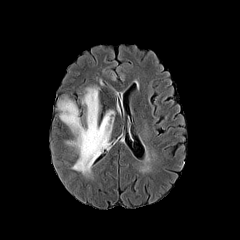
FLAIR MR.
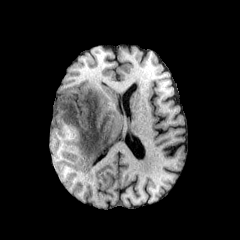
T1-weighted magnetic resonance.
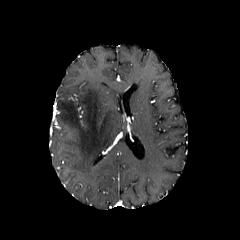
Post-contrast T1-weighted MRI.
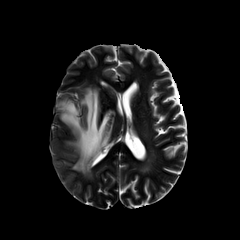
T2-weighted magnetic resonance.
Head.
The peritumoral edema is at 58,87,114,173.